FLAIR MR image.
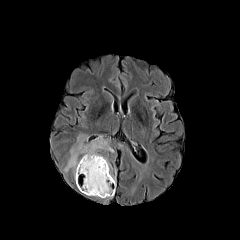
T1-weighted MR.
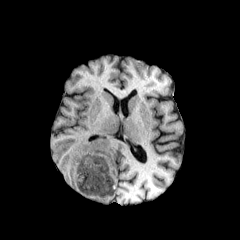
Post-contrast T1-weighted MRI.
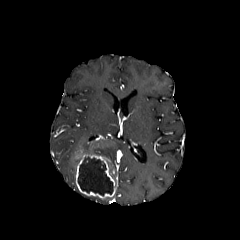
T2-weighted MRI.
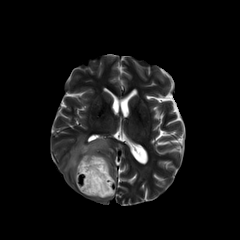
Head.
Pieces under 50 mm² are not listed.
{"peritumoral_edema": ["(left=64, top=134, right=113, bottom=176)", "(left=108, top=162, right=117, bottom=180)"], "necrotic_tumor_core": ["(left=78, top=157, right=113, bottom=195)"], "enhancing_tumor": ["(left=75, top=152, right=115, bottom=198)"]}